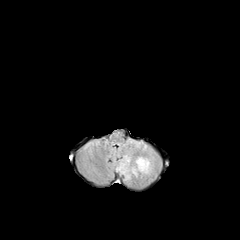
FLAIR MR.
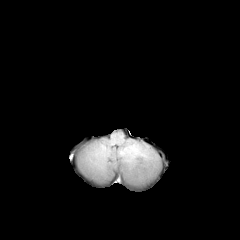
T1-weighted MR of the same slice.
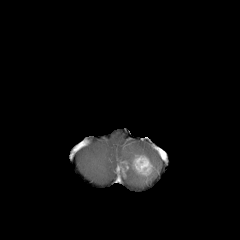
Post-contrast T1-weighted MRI of the same slice.
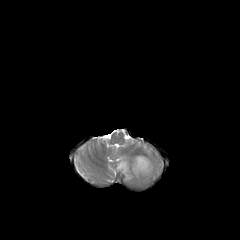
T2-weighted MR of the same slice.
Head
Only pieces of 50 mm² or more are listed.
enhancing tumor: bounding box x1=116, y1=161, x2=128, y2=174; x1=132, y1=155, x2=153, y2=176
peritumoral edema: bounding box x1=112, y1=140, x2=159, y2=183